Axial slice | Slice 104/155 | Image size 240x240
FLAIR MRI.
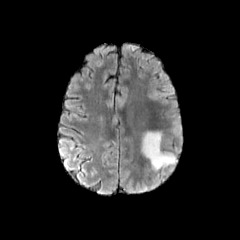
T1-weighted MR image.
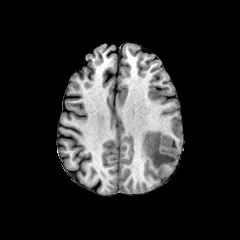
Post-contrast T1-weighted magnetic resonance.
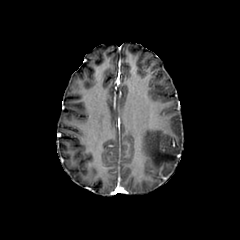
T2-weighted MR image.
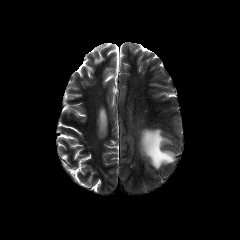
• peritumoral edema: [141,131,176,169]